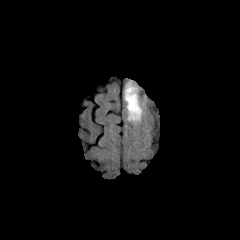
FLAIR magnetic resonance.
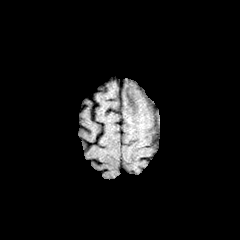
T1-weighted MRI of the same slice.
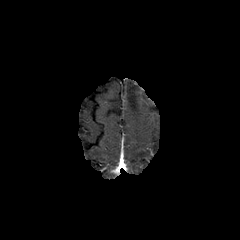
Post-contrast T1-weighted magnetic resonance of the same slice.
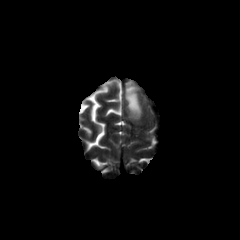
Same slice, T2-weighted MR image.
Axial view
peritumoral edema: bounding box region(125, 81, 142, 120)